Slice 128/155; Axial view; Brain
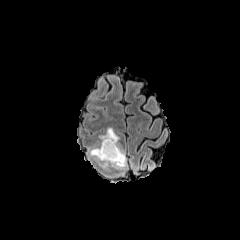
FLAIR magnetic resonance.
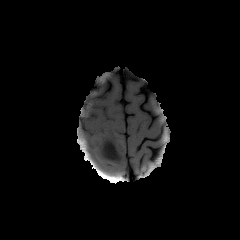
Same slice, T1-weighted magnetic resonance.
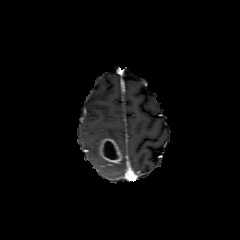
Post-contrast T1-weighted MR.
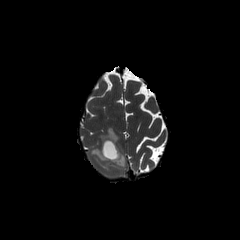
T2-weighted magnetic resonance.
The enhancing tumor lies within <box>98,137,122,163</box>. 3 peritumoral edema regions are bounded by <box>100,148,125,166</box>, <box>100,127,119,143</box>, <box>89,147,99,158</box>. The necrotic tumor core is at <box>103,141,118,159</box>.